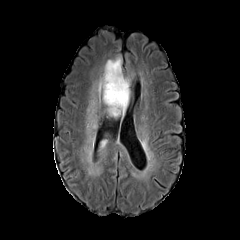
FLAIR MRI.
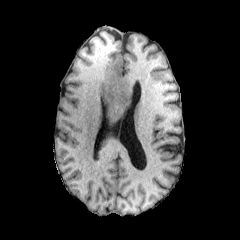
T1-weighted MR image.
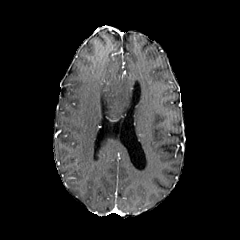
Same slice, post-contrast T1-weighted MRI.
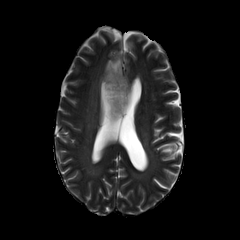
T2-weighted MR image.
Image size 240x240
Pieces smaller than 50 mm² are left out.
Findings:
* peritumoral edema: 98,57,130,116